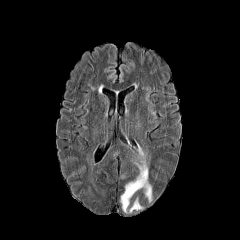
FLAIR MRI.
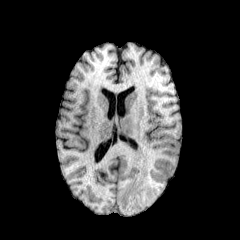
Same slice, T1-weighted MR image.
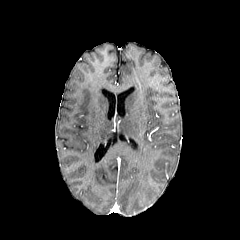
Same slice, post-contrast T1-weighted magnetic resonance.
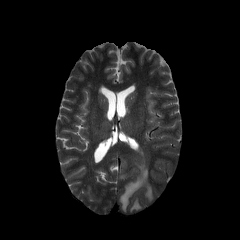
T2-weighted MR of the same slice.
Axial view.
Segmented structures:
• peritumoral edema: left=129, top=196, right=143, bottom=212; left=120, top=150, right=152, bottom=212